Image size 240x240, Image width 240 mm, 1.00 mm slice spacing
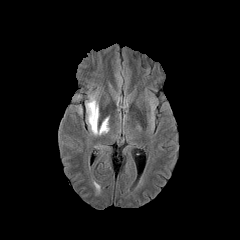
FLAIR magnetic resonance.
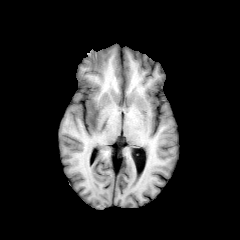
T1-weighted magnetic resonance.
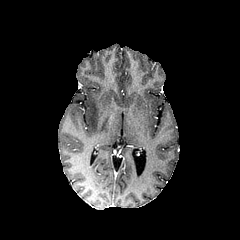
Post-contrast T1-weighted MRI of the same slice.
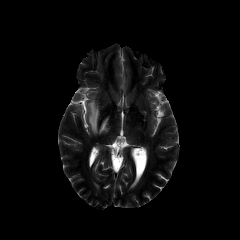
T2-weighted MR image of the same slice.
{
  "peritumoral_edema": [
    "(87,97,108,134)"
  ]
}